FLAIR MRI.
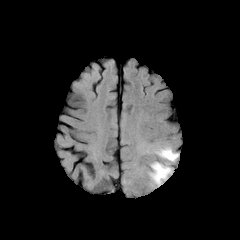
T1-weighted magnetic resonance.
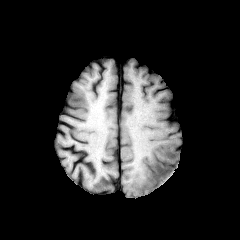
Post-contrast T1-weighted MRI.
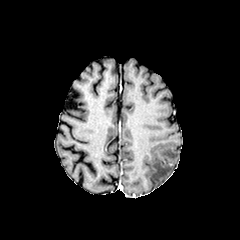
T2-weighted MR.
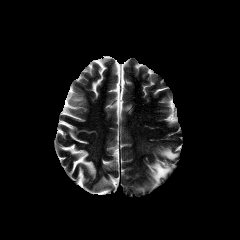
Axial plane; Brain
peritumoral edema: 149 162 172 187, 155 146 179 161